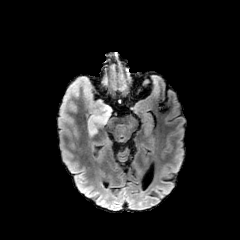
FLAIR MR image.
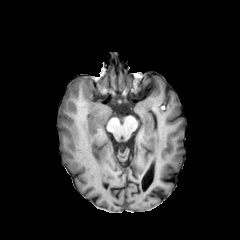
T1-weighted MR image of the same slice.
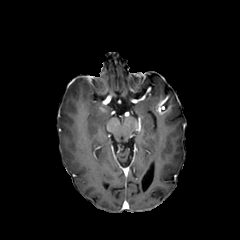
Same slice, post-contrast T1-weighted MR.
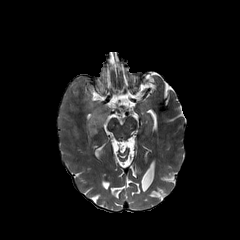
T2-weighted MR image.
240x240 px, Axial view, Brain
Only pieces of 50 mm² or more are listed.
Findings:
* peritumoral edema: 59 76 112 138